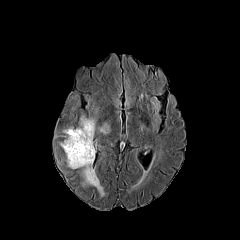
FLAIR MR image.
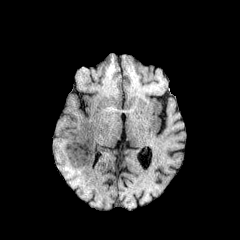
Same slice, T1-weighted MR image.
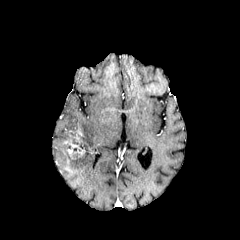
Post-contrast T1-weighted magnetic resonance of the same slice.
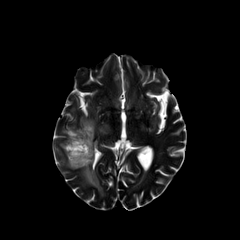
T2-weighted magnetic resonance.
Image size 240x240
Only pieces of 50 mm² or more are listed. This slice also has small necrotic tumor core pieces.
2 peritumoral edema regions are located at 99:124:107:133, 60:116:104:196. The 2 largest enhancing tumor regions are bounded by 65:139:86:159, 70:130:82:144.